FLAIR MR image.
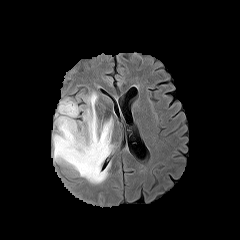
T1-weighted MR.
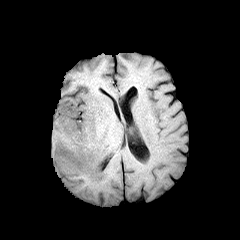
Post-contrast T1-weighted MR.
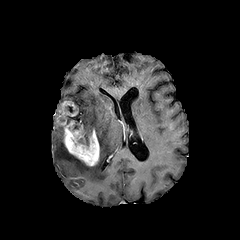
T2-weighted magnetic resonance.
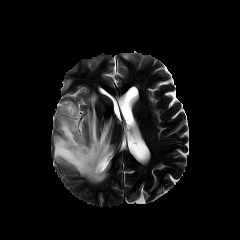
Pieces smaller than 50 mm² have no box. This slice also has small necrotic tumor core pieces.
enhancing tumor: bounding box 56 100 99 166
peritumoral edema: bounding box 66 113 79 124, 53 92 114 183